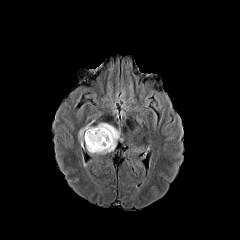
FLAIR MR.
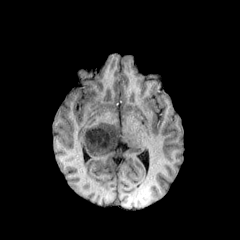
T1-weighted magnetic resonance of the same slice.
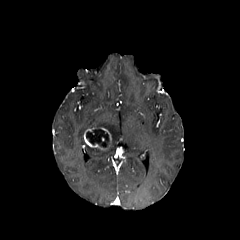
Post-contrast T1-weighted magnetic resonance.
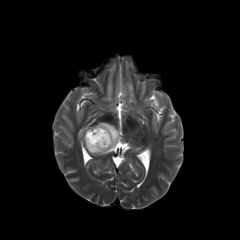
Same slice, T2-weighted magnetic resonance.
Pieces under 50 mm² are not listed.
peritumoral edema = bbox(86, 122, 120, 154); bbox(78, 120, 94, 144)
enhancing tumor = bbox(83, 127, 113, 150)
necrotic tumor core = bbox(86, 129, 109, 147)